Slice 80 of 155. 240x240.
FLAIR MR.
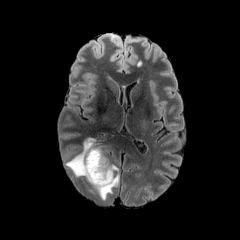
T1-weighted MR image.
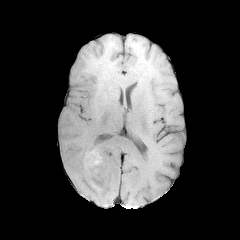
Post-contrast T1-weighted magnetic resonance.
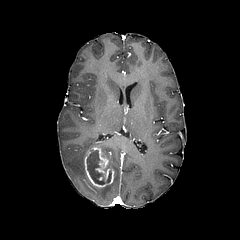
T2-weighted MRI.
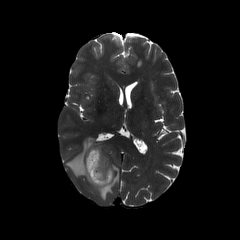
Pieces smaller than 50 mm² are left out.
The peritumoral edema is bounded by <bbox>65, 138, 119, 200</bbox>. The largest necrotic tumor core region is located at <bbox>87, 150, 111, 184</bbox>. The largest enhancing tumor region is bounded by <bbox>84, 147, 114, 188</bbox>.